FLAIR MR.
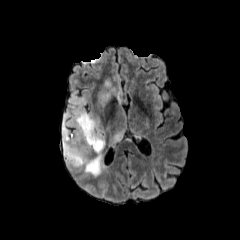
T1-weighted MRI.
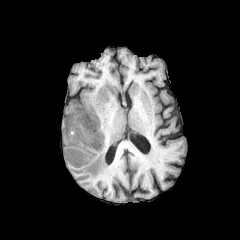
Post-contrast T1-weighted MR image.
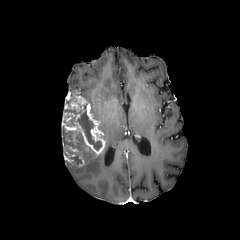
T2-weighted MR.
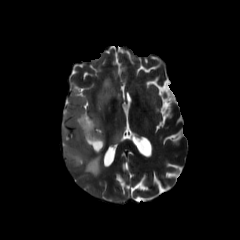
Axial plane
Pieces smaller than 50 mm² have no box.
Annotated regions:
- necrotic tumor core: bbox=[70, 154, 81, 163]; bbox=[64, 132, 83, 149]; bbox=[77, 106, 101, 150]
- peritumoral edema: bbox=[96, 77, 119, 110]; bbox=[108, 123, 125, 149]; bbox=[84, 148, 107, 176]; bbox=[66, 91, 76, 110]
- enhancing tumor: bbox=[61, 96, 105, 166]